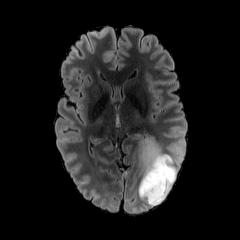
FLAIR magnetic resonance.
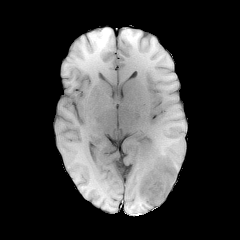
T1-weighted MR.
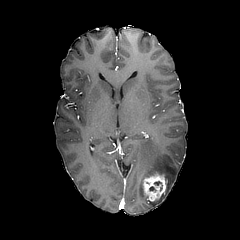
Post-contrast T1-weighted MR of the same slice.
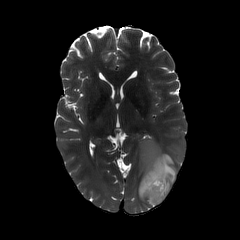
Same slice, T2-weighted MRI.
Axial slice
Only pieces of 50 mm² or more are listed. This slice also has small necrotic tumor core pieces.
- peritumoral edema: left=138, top=138, right=176, bottom=206
- enhancing tumor: left=143, top=173, right=167, bottom=201